Slice 117 of 155 | Axial slice | Brain
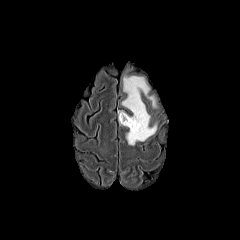
FLAIR MR image.
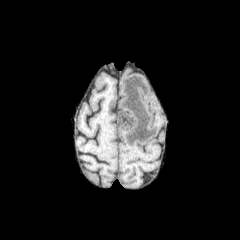
T1-weighted MRI.
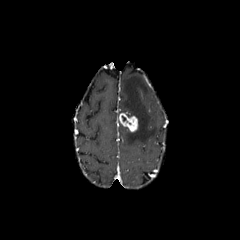
Post-contrast T1-weighted magnetic resonance.
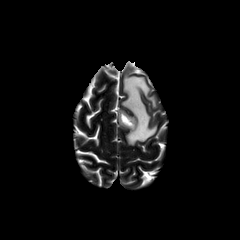
Same slice, T2-weighted magnetic resonance.
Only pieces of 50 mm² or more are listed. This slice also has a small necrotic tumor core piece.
The largest peritumoral edema region lies within <box>122,75,158,145</box>. The enhancing tumor lies within <box>118,113,137,131</box>.